240x240 px; Axial slice; Head; Image width 240 mm, 1.00 mm slice spacing
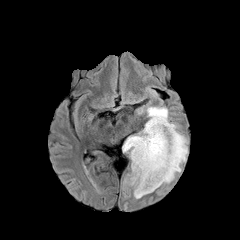
FLAIR magnetic resonance.
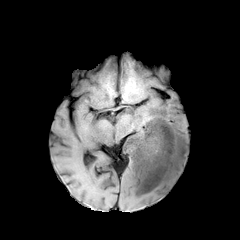
T1-weighted MRI.
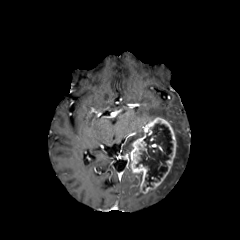
Post-contrast T1-weighted MRI.
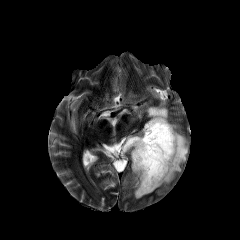
T2-weighted MRI.
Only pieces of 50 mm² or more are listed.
Segmented structures:
* peritumoral edema: box=[124, 173, 146, 198]; box=[146, 107, 168, 121]; box=[122, 130, 143, 153]; box=[160, 123, 187, 185]
* enhancing tumor: box=[129, 117, 177, 194]
* necrotic tumor core: box=[136, 123, 172, 186]